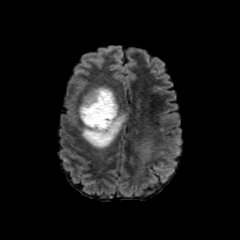
FLAIR MRI.
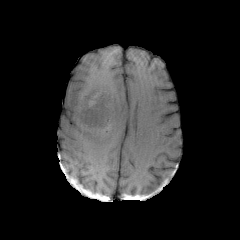
T1-weighted MR image of the same slice.
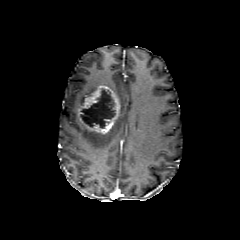
Same slice, post-contrast T1-weighted MR image.
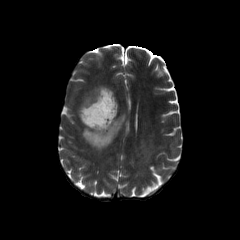
Same slice, T2-weighted MRI.
Image size 240x240. Axial slice.
{
  "peritumoral_edema": [
    "82 87 97 101",
    "81 112 125 149",
    "133 141 155 179"
  ],
  "necrotic_tumor_core": [
    "81 89 115 128"
  ],
  "enhancing_tumor": [
    "77 85 119 134"
  ]
}